FLAIR MR image.
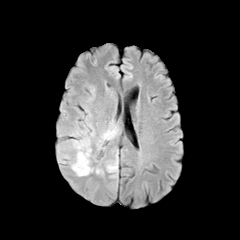
T1-weighted MR image.
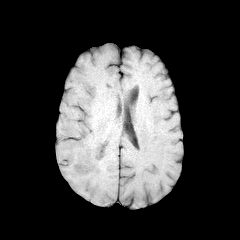
Post-contrast T1-weighted magnetic resonance.
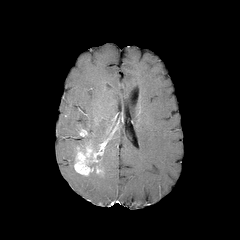
T2-weighted MR.
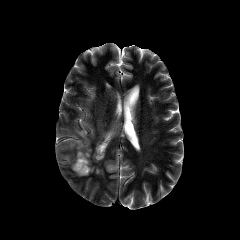
Head, Axial plane
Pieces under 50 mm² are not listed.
peritumoral edema at 106, 162, 117, 172; 96, 124, 118, 148; 69, 128, 90, 153; 70, 155, 83, 176
enhancing tumor at 74, 142, 105, 175